FLAIR MR.
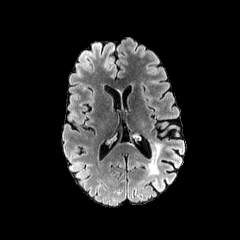
T1-weighted magnetic resonance.
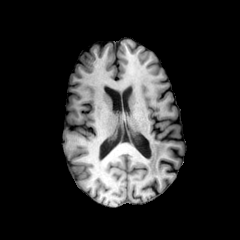
Post-contrast T1-weighted MR.
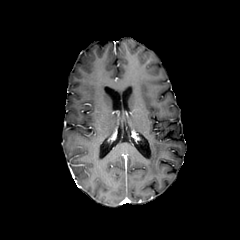
T2-weighted MR image.
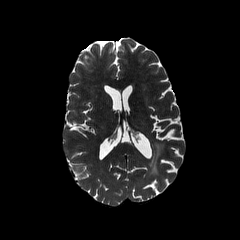
Head.
Findings:
• peritumoral edema: 149 143 162 172